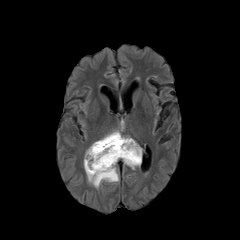
FLAIR MRI.
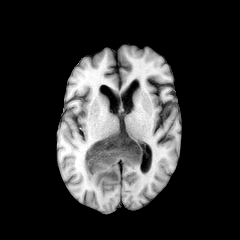
T1-weighted MR image.
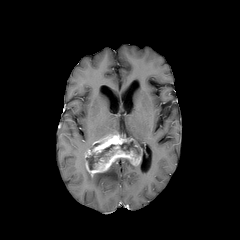
Same slice, post-contrast T1-weighted magnetic resonance.
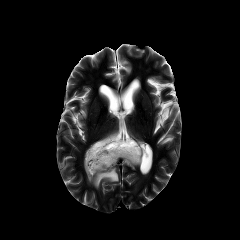
T2-weighted magnetic resonance.
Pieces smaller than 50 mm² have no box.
The 2 largest peritumoral edema regions are bounded by rect(123, 159, 140, 169); rect(84, 158, 119, 188). The largest enhancing tumor region is bounded by rect(84, 131, 142, 176). The 2 largest necrotic tumor core regions appear at rect(85, 144, 114, 169); rect(120, 141, 140, 154).